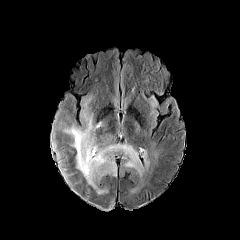
FLAIR magnetic resonance.
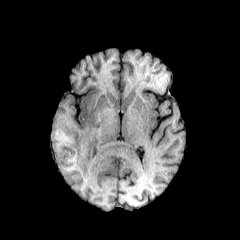
Same slice, T1-weighted MR.
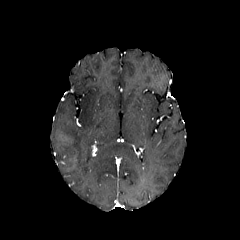
Same slice, post-contrast T1-weighted MRI.
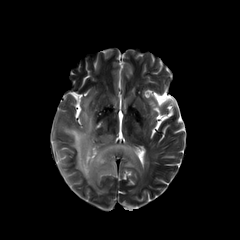
T2-weighted magnetic resonance.
Head
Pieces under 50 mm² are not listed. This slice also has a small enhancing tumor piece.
peritumoral edema = [51, 142, 73, 158], [60, 106, 140, 193], [66, 174, 80, 179], [58, 161, 72, 169], [103, 136, 113, 141]